Image covers 240 mm x 240 mm; 240x240; Slice 115/155
FLAIR MR image.
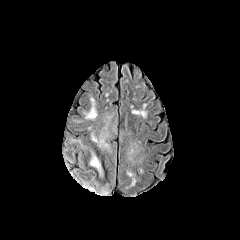
T1-weighted MRI.
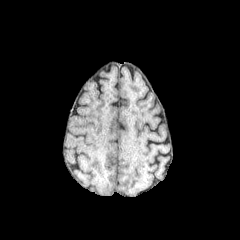
Post-contrast T1-weighted MRI.
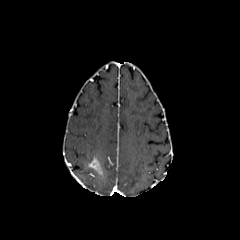
T2-weighted MRI.
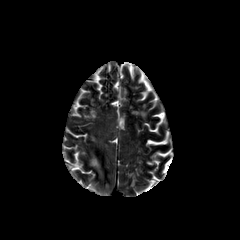
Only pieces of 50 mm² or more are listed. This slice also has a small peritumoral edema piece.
enhancing tumor: box=[89, 157, 102, 175]